240x240 px, Head
FLAIR MR.
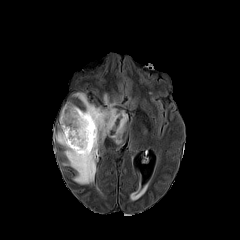
T1-weighted MR.
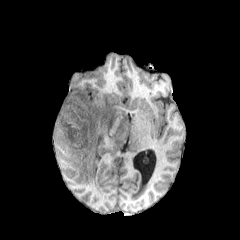
Post-contrast T1-weighted MRI.
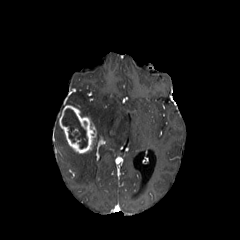
T2-weighted MRI.
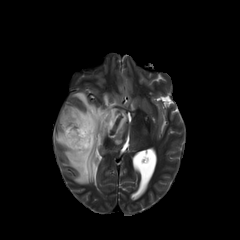
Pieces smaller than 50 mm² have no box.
Findings:
• enhancing tumor: l=59, t=105, r=96, b=153
• peritumoral edema: l=129, t=181, r=148, b=201; l=55, t=92, r=127, b=184
• necrotic tumor core: l=62, t=108, r=87, b=148